FLAIR MRI.
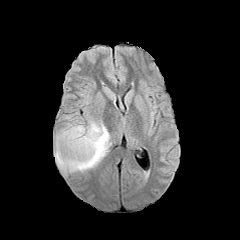
T1-weighted MRI.
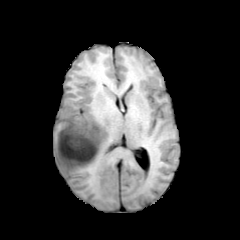
Post-contrast T1-weighted MR image.
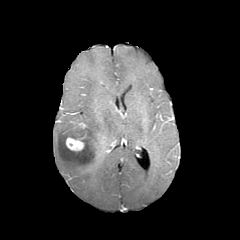
T2-weighted MRI.
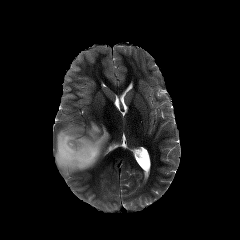
Brain, Axial plane, Image size 240x240
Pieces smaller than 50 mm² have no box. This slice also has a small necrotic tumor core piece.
peritumoral edema: x1=54 y1=116 x2=111 y2=175 | enhancing tumor: x1=95 y1=135 x2=104 y2=153, x1=66 y1=137 x2=84 y2=151